FLAIR MR image.
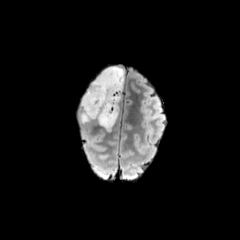
T1-weighted MR image.
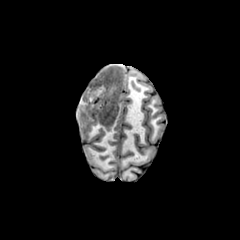
Post-contrast T1-weighted MRI.
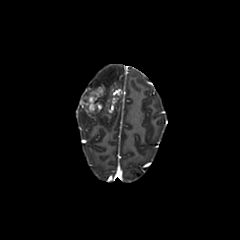
T2-weighted MR.
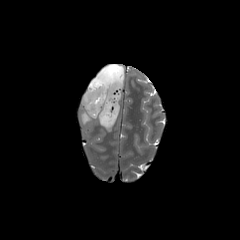
Brain | 240x240
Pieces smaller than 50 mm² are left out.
enhancing tumor: bounding box [81, 83, 121, 118]
peritumoral edema: bounding box [80, 100, 119, 131], [90, 66, 124, 92]